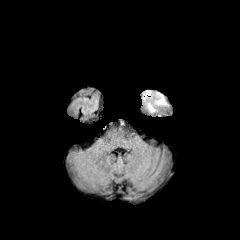
FLAIR MR image.
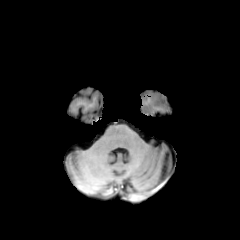
T1-weighted MR image.
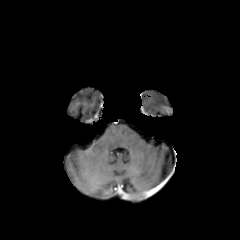
Same slice, post-contrast T1-weighted MRI.
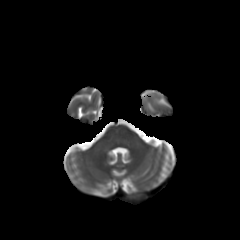
Same slice, T2-weighted magnetic resonance.
Head
peritumoral edema: bounding box (left=142, top=94, right=168, bottom=114)